Brain.
FLAIR MR.
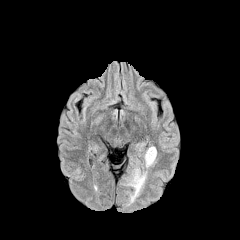
T1-weighted MR image.
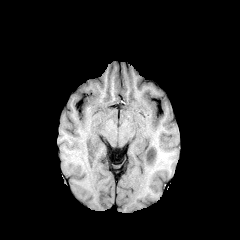
Post-contrast T1-weighted MR.
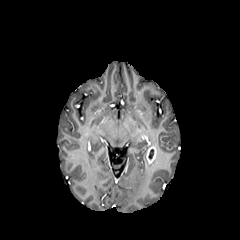
T2-weighted MR image.
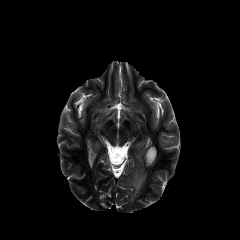
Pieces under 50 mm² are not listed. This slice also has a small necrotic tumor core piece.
Findings:
* peritumoral edema: <bbox>127, 168, 146, 202</bbox>, <bbox>144, 151, 155, 167</bbox>
* enhancing tumor: <bbox>146, 147, 156, 163</bbox>